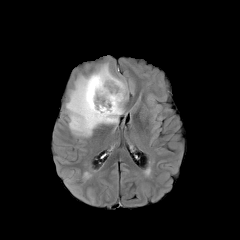
FLAIR MRI.
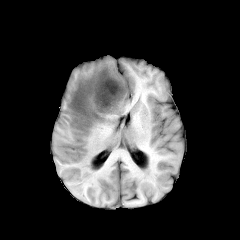
T1-weighted magnetic resonance.
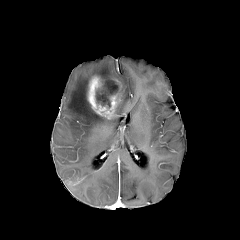
Same slice, post-contrast T1-weighted MR.
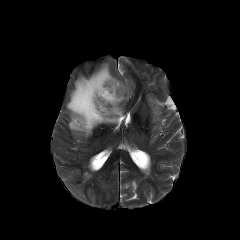
Same slice, T2-weighted MR image.
240x240 px, Brain
enhancing tumor — bbox=[87, 76, 123, 119]
necrotic tumor core — bbox=[96, 81, 118, 107]
peritumoral edema — bbox=[66, 58, 128, 137]